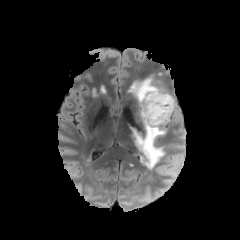
FLAIR MR.
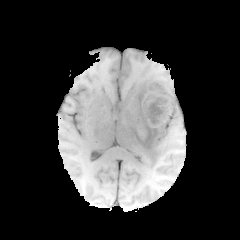
T1-weighted magnetic resonance of the same slice.
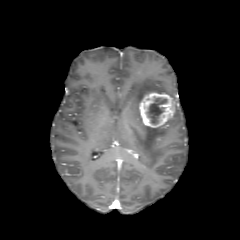
Same slice, post-contrast T1-weighted MR image.
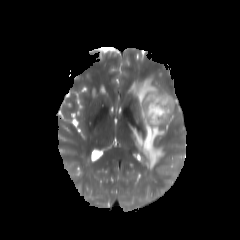
T2-weighted MR.
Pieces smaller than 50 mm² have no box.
enhancing tumor = bbox(139, 92, 175, 127)
peritumoral edema = bbox(132, 125, 165, 169); bbox(128, 76, 169, 102)
necrotic tumor core = bbox(147, 98, 167, 124)